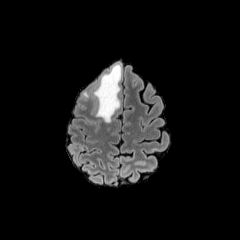
FLAIR MR.
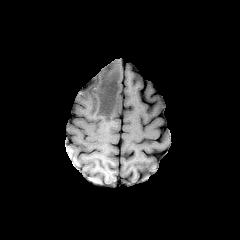
Same slice, T1-weighted magnetic resonance.
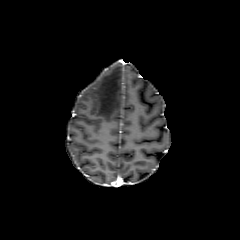
Same slice, post-contrast T1-weighted MRI.
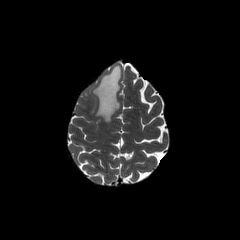
T2-weighted magnetic resonance of the same slice.
Axial slice.
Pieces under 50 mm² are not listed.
Annotated regions:
* peritumoral edema: box=[92, 63, 121, 122]